Image width 240 mm, Axial view
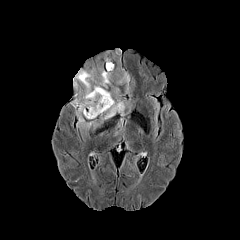
FLAIR magnetic resonance.
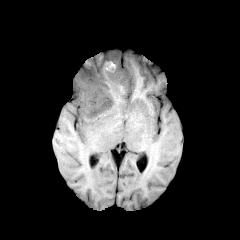
T1-weighted MR.
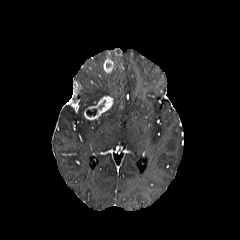
Post-contrast T1-weighted MR.
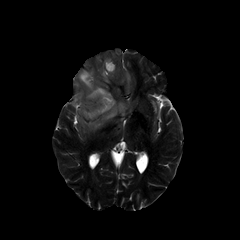
T2-weighted MR image.
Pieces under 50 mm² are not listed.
{"enhancing_tumor": ["box(84, 95, 113, 120)", "box(103, 59, 114, 73)", "box(70, 81, 83, 109)"], "peritumoral_edema": ["box(74, 50, 129, 132)"], "necrotic_tumor_core": ["box(86, 109, 96, 116)"]}